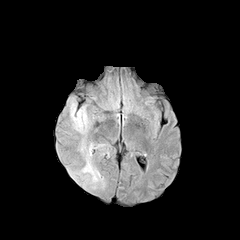
FLAIR MR.
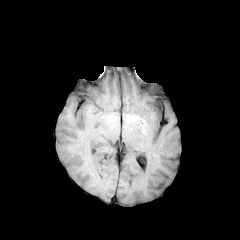
Same slice, T1-weighted MRI.
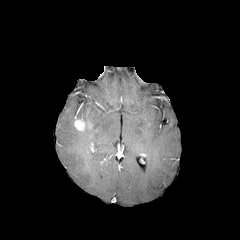
Post-contrast T1-weighted MR image.
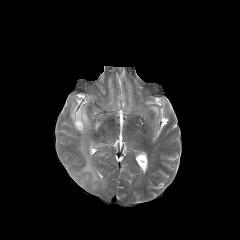
T2-weighted MRI of the same slice.
Axial slice; Head
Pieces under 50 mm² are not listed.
<segmentation>
  <peritumoral_edema>70,100,105,189</peritumoral_edema>
  <enhancing_tumor>74,117,85,131</enhancing_tumor>
</segmentation>